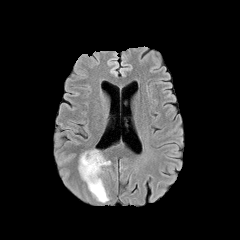
FLAIR MR.
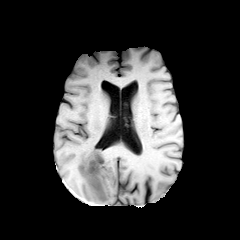
Same slice, T1-weighted MR image.
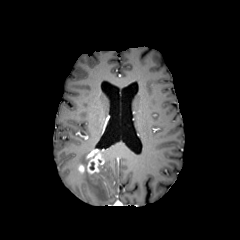
Post-contrast T1-weighted MR of the same slice.
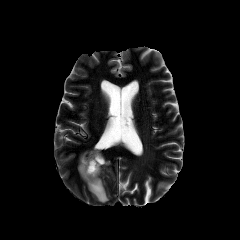
T2-weighted MR image of the same slice.
Image size 240x240 | Axial plane
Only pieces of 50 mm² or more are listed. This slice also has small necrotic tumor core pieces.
2 peritumoral edema regions are bounded by box=[80, 160, 110, 202]; box=[79, 151, 89, 165]. The enhancing tumor lies within box=[78, 149, 104, 174].